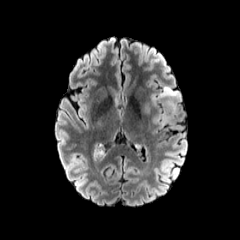
FLAIR magnetic resonance.
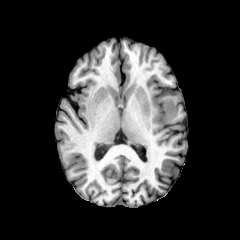
T1-weighted MR.
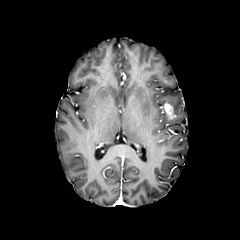
Post-contrast T1-weighted MRI.
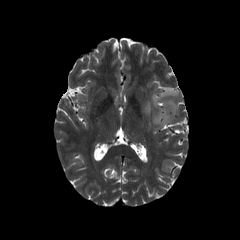
T2-weighted magnetic resonance of the same slice.
Brain | Image size 240x240
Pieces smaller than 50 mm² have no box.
The 2 largest peritumoral edema regions are located at 153 108 171 126, 152 86 180 115. The enhancing tumor is located at 161 102 175 119.